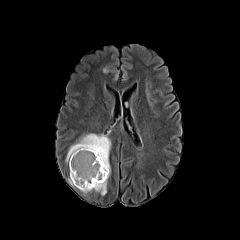
FLAIR MR image.
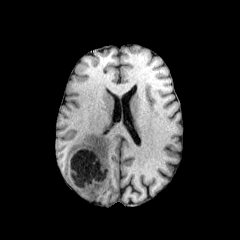
T1-weighted MRI of the same slice.
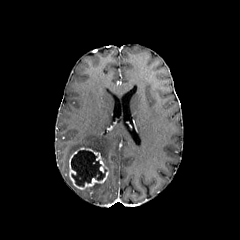
Post-contrast T1-weighted MR image.
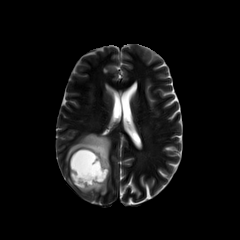
T2-weighted magnetic resonance.
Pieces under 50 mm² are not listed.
necrotic tumor core: 71,150,106,186 | peritumoral edema: 65,133,111,195 | enhancing tumor: 69,147,108,189